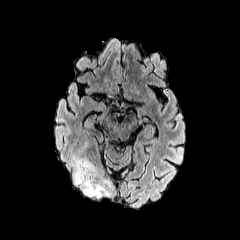
FLAIR MRI.
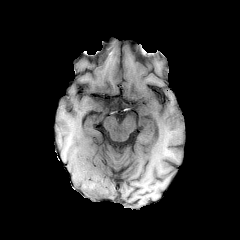
Same slice, T1-weighted MRI.
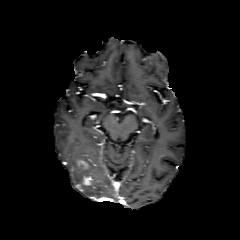
Post-contrast T1-weighted MR of the same slice.
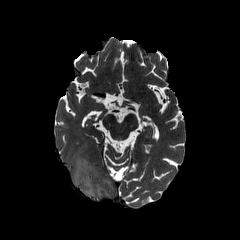
Same slice, T2-weighted MR.
240x240, Axial plane
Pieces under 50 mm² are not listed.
Findings:
- enhancing tumor: (83,176,92,185), (78,160,88,168)
- peritumoral edema: (72,156,104,196)